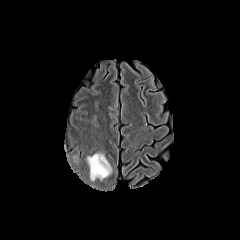
FLAIR magnetic resonance.
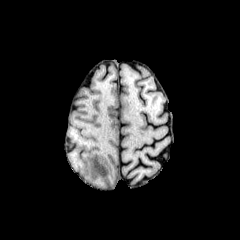
T1-weighted magnetic resonance.
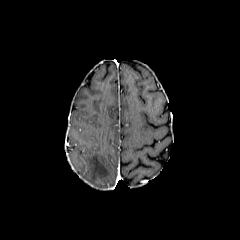
Post-contrast T1-weighted MRI of the same slice.
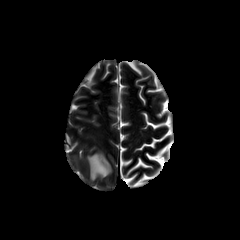
T2-weighted magnetic resonance.
Axial plane.
The peritumoral edema is at 87, 153, 112, 180.